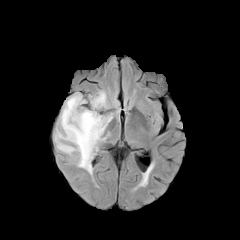
FLAIR MRI.
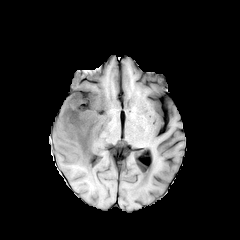
Same slice, T1-weighted MR.
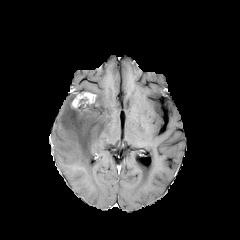
Post-contrast T1-weighted MR image.
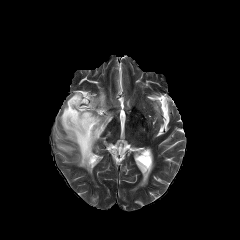
T2-weighted MR image.
Head; Axial view
{
  "peritumoral_edema": [
    "box=[54, 91, 112, 174]"
  ],
  "enhancing_tumor": [
    "box=[71, 92, 95, 108]"
  ]
}